FLAIR magnetic resonance.
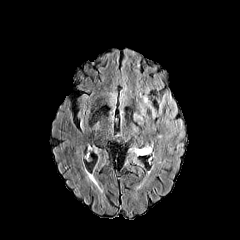
T1-weighted MR image.
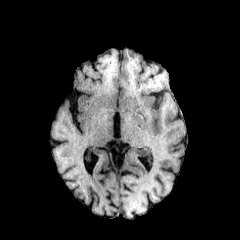
Post-contrast T1-weighted MR image.
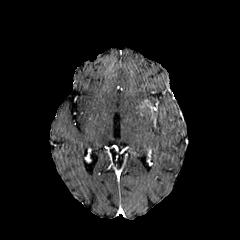
T2-weighted magnetic resonance.
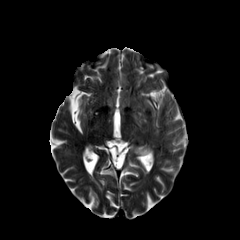
240x240 | Brain
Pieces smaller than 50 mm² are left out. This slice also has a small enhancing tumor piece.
peritumoral edema: bounding box [134, 95, 155, 123], [134, 146, 149, 155]